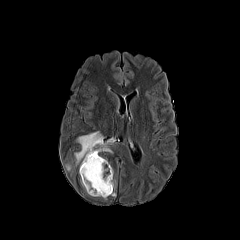
FLAIR MRI.
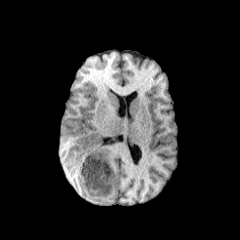
T1-weighted MRI.
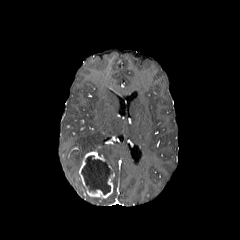
Post-contrast T1-weighted magnetic resonance.
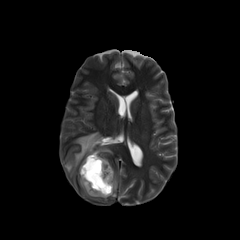
T2-weighted magnetic resonance.
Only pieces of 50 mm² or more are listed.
{"necrotic_tumor_core": ["81,156,112,194"], "enhancing_tumor": ["79,151,114,198"], "peritumoral_edema": ["74,131,112,166"]}